240x240, Slice index 55, Image width 240 mm
FLAIR MRI.
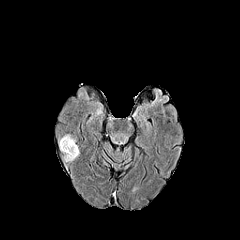
T1-weighted MR image.
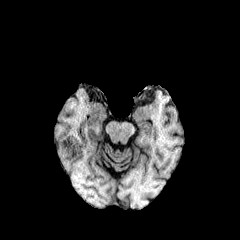
Post-contrast T1-weighted MRI.
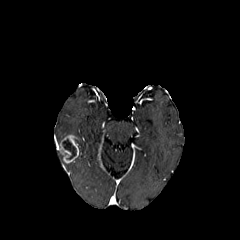
T2-weighted magnetic resonance.
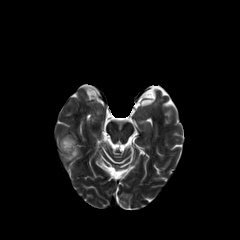
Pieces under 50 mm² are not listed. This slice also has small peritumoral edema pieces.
necrotic tumor core: <bbox>62, 139, 76, 159</bbox> | enhancing tumor: <bbox>59, 135, 79, 163</bbox>